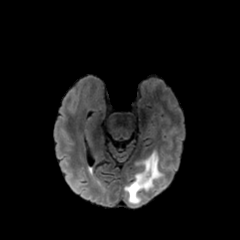
FLAIR MR.
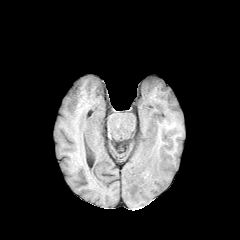
T1-weighted MRI.
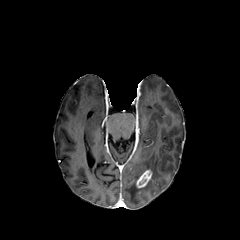
Same slice, post-contrast T1-weighted MR image.
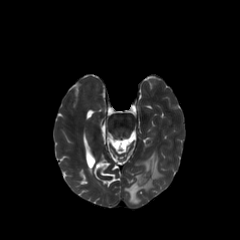
T2-weighted MR.
Brain | Axial slice | Image size 240x240
Segmented structures:
• enhancing tumor: bbox(136, 169, 152, 188)
• peritumoral edema: bbox(125, 151, 162, 203)